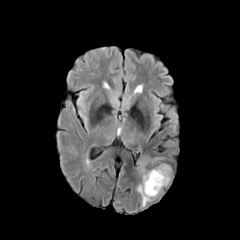
FLAIR magnetic resonance.
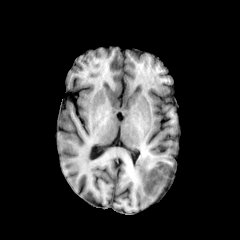
Same slice, T1-weighted MR.
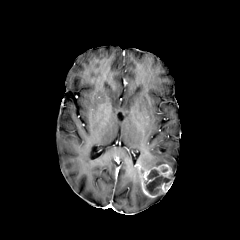
Post-contrast T1-weighted MR.
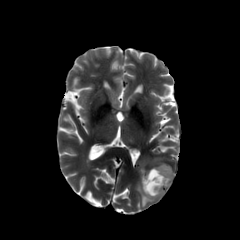
Same slice, T2-weighted MRI.
Head
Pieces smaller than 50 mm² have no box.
The 2 largest peritumoral edema regions appear at 139 157 163 168, 137 184 153 206. The enhancing tumor is located at 139 164 172 198. The largest necrotic tumor core region lies within 145 169 170 194.